FLAIR MR image.
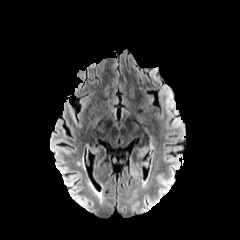
T1-weighted MRI.
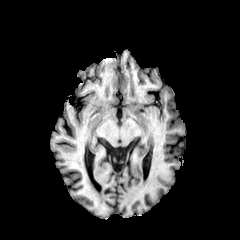
Post-contrast T1-weighted MRI.
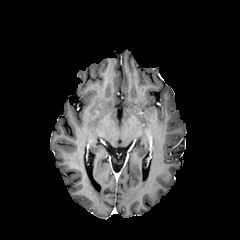
T2-weighted MRI.
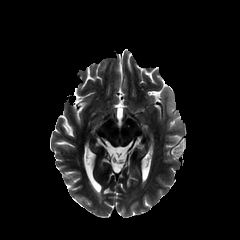
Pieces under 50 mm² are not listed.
{"peritumoral_edema": ["<bbox>160, 87, 173, 107</bbox>"]}